FLAIR MR.
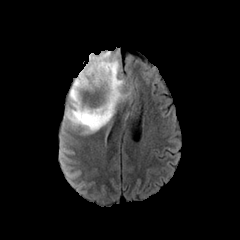
T1-weighted MRI.
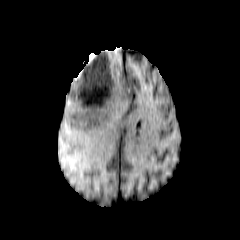
Post-contrast T1-weighted magnetic resonance.
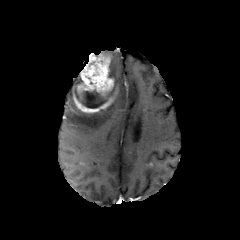
T2-weighted magnetic resonance.
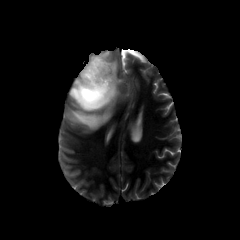
Axial view
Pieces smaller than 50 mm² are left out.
Annotated regions:
• enhancing tumor: box=[72, 51, 117, 113]
• peritumoral edema: box=[65, 52, 128, 130]
• necrotic tumor core: box=[83, 91, 106, 107]